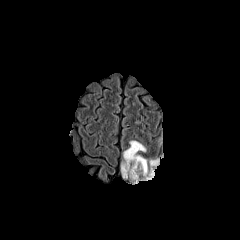
FLAIR MR.
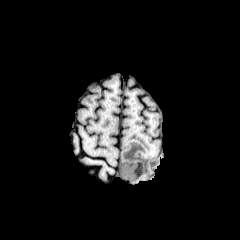
T1-weighted MR.
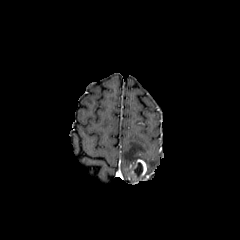
Post-contrast T1-weighted MR of the same slice.
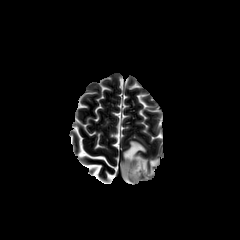
T2-weighted MR image.
240x240 px, Head, Axial slice
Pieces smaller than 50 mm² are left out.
Annotated regions:
* necrotic tumor core: (134,162,142,177)
* enhancing tumor: (122,159,153,183)
* peritumoral edema: (121,141,147,171), (147,158,159,173)